Slice 96/155.
FLAIR magnetic resonance.
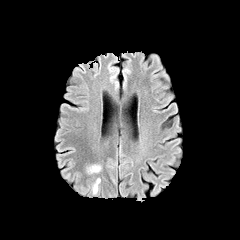
T1-weighted MRI.
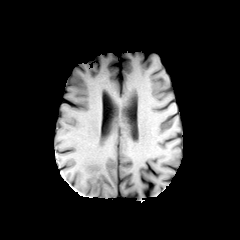
Post-contrast T1-weighted MR image.
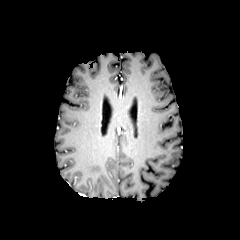
T2-weighted MR.
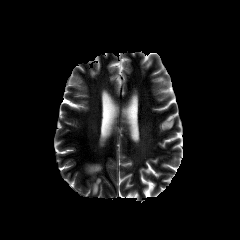
2 peritumoral edema regions appear at [93, 179, 100, 193], [87, 164, 100, 173].